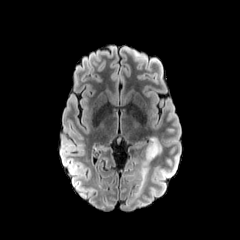
FLAIR MR image.
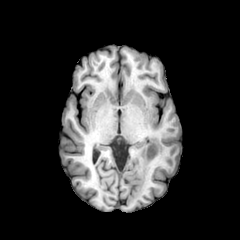
Same slice, T1-weighted MRI.
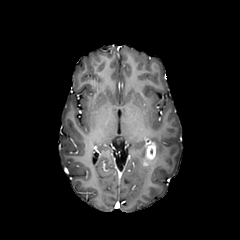
Post-contrast T1-weighted MR image of the same slice.
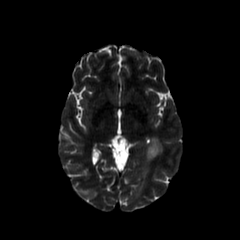
T2-weighted magnetic resonance.
Brain
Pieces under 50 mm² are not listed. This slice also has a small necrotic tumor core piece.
peritumoral edema = x1=150, y1=137, x2=162, y2=155; x1=138, y1=158, x2=151, y2=190
enhancing tumor = x1=146, y1=141, x2=156, y2=159